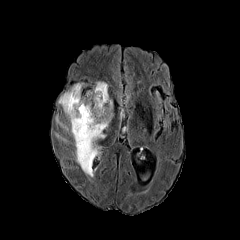
FLAIR magnetic resonance.
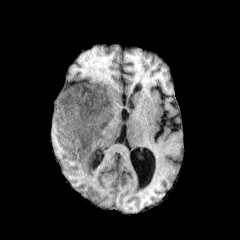
T1-weighted MR image.
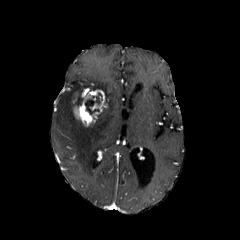
Post-contrast T1-weighted MR image of the same slice.
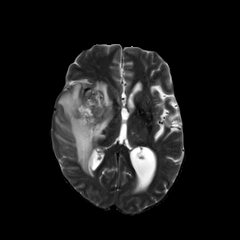
T2-weighted magnetic resonance.
Axial slice
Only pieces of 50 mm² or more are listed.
peritumoral edema: 55 81 112 176 | necrotic tumor core: 85 93 101 114 | enhancing tumor: 73 89 106 126